FLAIR MR image.
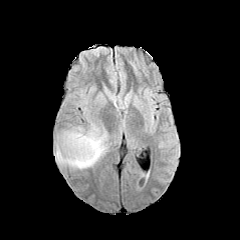
T1-weighted MR.
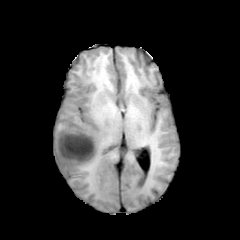
Post-contrast T1-weighted magnetic resonance.
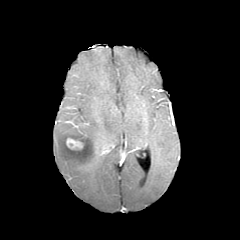
T2-weighted MR image.
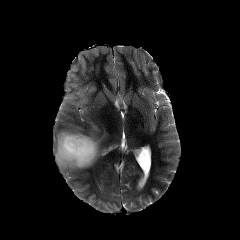
Head, 240x240 px
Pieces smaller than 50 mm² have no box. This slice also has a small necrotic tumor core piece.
Findings:
• enhancing tumor: [x1=66, y1=138, x2=83, y2=149]
• peritumoral edema: [x1=55, y1=123, x2=107, y2=169]